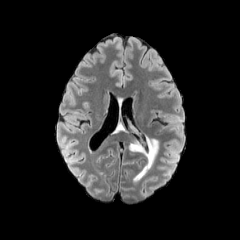
FLAIR MRI.
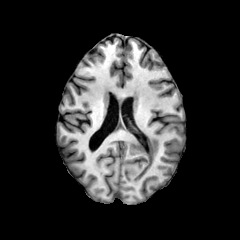
Same slice, T1-weighted MR image.
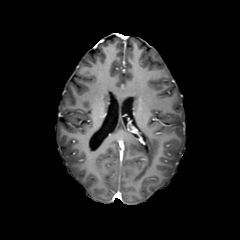
Same slice, post-contrast T1-weighted magnetic resonance.
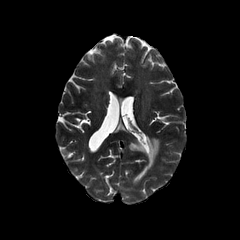
Same slice, T2-weighted MRI.
Head
peritumoral_edema:
  - 127, 136, 159, 182